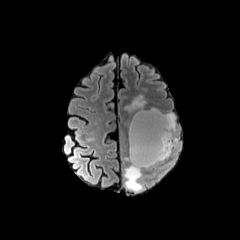
FLAIR magnetic resonance.
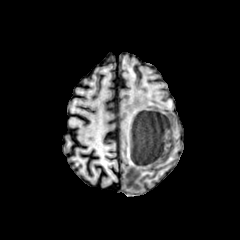
T1-weighted magnetic resonance of the same slice.
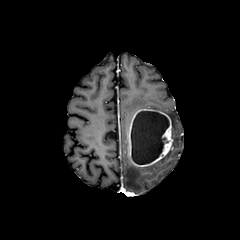
Post-contrast T1-weighted MR image.
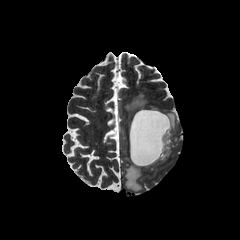
Same slice, T2-weighted MR.
240x240
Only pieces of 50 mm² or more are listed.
• peritumoral edema: x1=152, y1=150, x2=171, y2=165; x1=124, y1=163, x2=143, y2=192; x1=167, y1=113, x2=178, y2=146; x1=125, y1=95, x2=145, y2=126
• enhancing tumor: x1=128, y1=109, x2=173, y2=167
• necrotic tumor core: x1=131, y1=111, x2=169, y2=164